Head
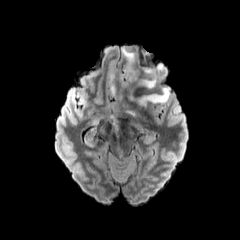
FLAIR MRI.
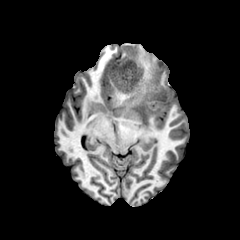
T1-weighted MR image of the same slice.
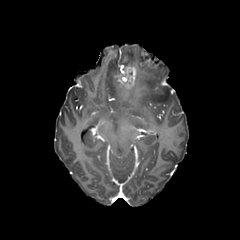
Same slice, post-contrast T1-weighted magnetic resonance.
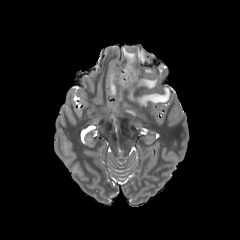
T2-weighted MR image.
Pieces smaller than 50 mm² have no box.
peritumoral edema at [108,66,118,95], [142,69,156,88], [122,47,135,62], [139,88,169,105]
enhancing tumor at [112,63,138,91]